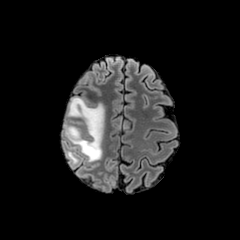
FLAIR MR image.
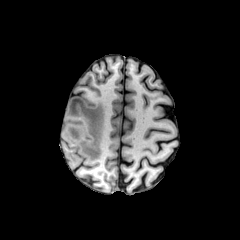
Same slice, T1-weighted MRI.
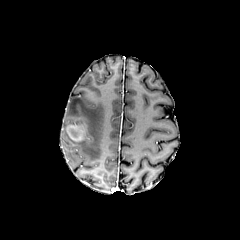
Same slice, post-contrast T1-weighted MRI.
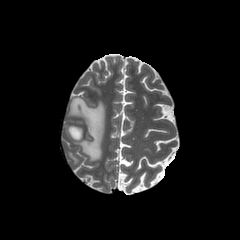
Same slice, T2-weighted MR image.
Axial slice
peritumoral edema: 65:150:78:165, 64:97:104:161
enhancing tumor: 66:124:84:141